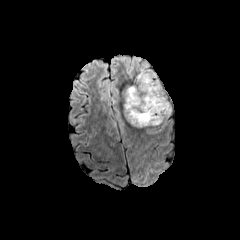
FLAIR MR image.
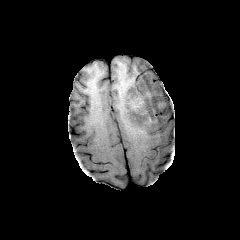
T1-weighted MRI.
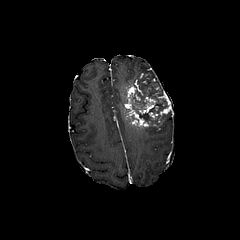
Same slice, post-contrast T1-weighted magnetic resonance.
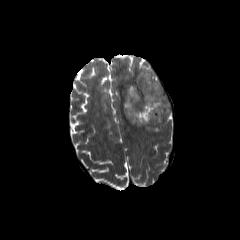
T2-weighted MR image.
Axial view, Head
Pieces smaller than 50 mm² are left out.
necrotic tumor core — left=131, top=77, right=168, bottom=122
enhancing tumor — left=123, top=84, right=171, bottom=127; left=139, top=96, right=157, bottom=114; left=134, top=73, right=150, bottom=91
peritumoral edema — left=135, top=69, right=156, bottom=79